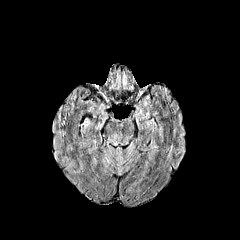
FLAIR MR.
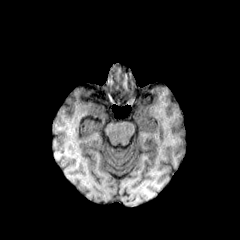
T1-weighted MR image.
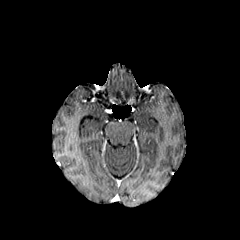
Post-contrast T1-weighted magnetic resonance.
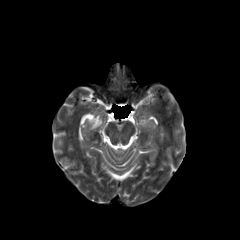
Same slice, T2-weighted MR image.
2 peritumoral edema regions are bounded by x1=123, y1=73, x2=132, y2=90; x1=110, y1=72, x2=121, y2=90.